Brain. Axial view.
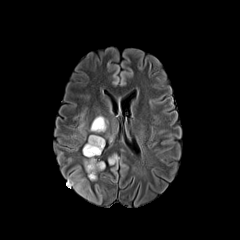
FLAIR magnetic resonance.
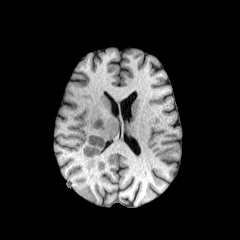
T1-weighted MR image of the same slice.
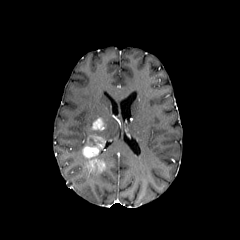
Post-contrast T1-weighted MR.
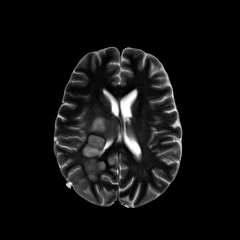
Same slice, T2-weighted MR.
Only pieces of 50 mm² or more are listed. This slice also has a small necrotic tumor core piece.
enhancing tumor: rect(87, 158, 105, 171); rect(83, 135, 104, 158); rect(92, 118, 104, 130)
peritumoral edema: rect(108, 154, 117, 164); rect(84, 160, 98, 180); rect(90, 116, 107, 132)